Slice 54/155 | Image width 240 mm
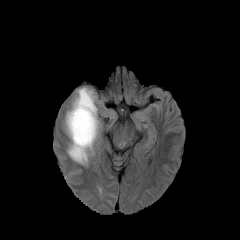
FLAIR MR.
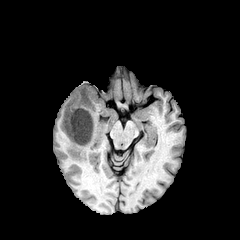
T1-weighted MR image.
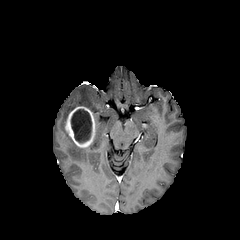
Post-contrast T1-weighted MR image of the same slice.
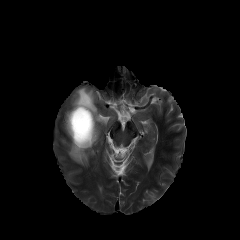
Same slice, T2-weighted MR.
peritumoral edema = rect(65, 87, 100, 164)
necrotic tumor core = rect(71, 109, 91, 142)
enhancing tumor = rect(65, 106, 96, 147)